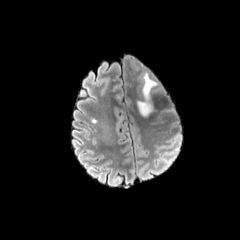
FLAIR MR.
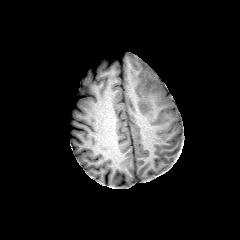
Same slice, T1-weighted MRI.
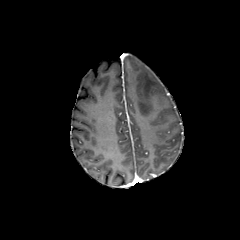
Same slice, post-contrast T1-weighted magnetic resonance.
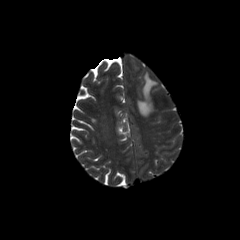
T2-weighted MR.
<segmentation>
  <peritumoral_edema>left=137, top=73, right=158, bottom=116</peritumoral_edema>
</segmentation>